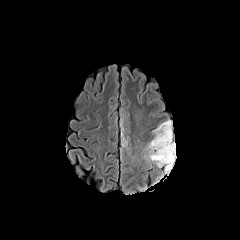
FLAIR MRI.
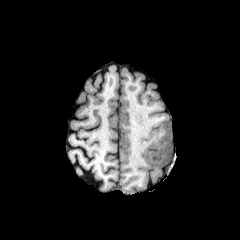
T1-weighted magnetic resonance.
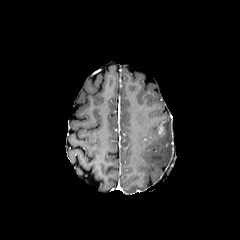
Post-contrast T1-weighted MR image of the same slice.
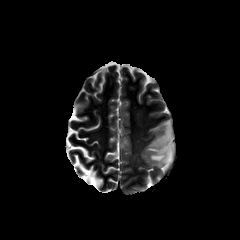
T2-weighted MR image.
Head
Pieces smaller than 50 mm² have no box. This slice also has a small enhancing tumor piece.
Segmented structures:
• peritumoral edema: left=145, top=120, right=175, bottom=173; left=120, top=111, right=129, bottom=145